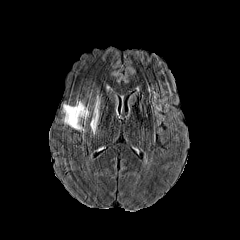
FLAIR magnetic resonance.
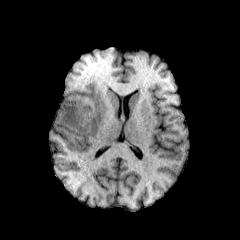
T1-weighted MR image of the same slice.
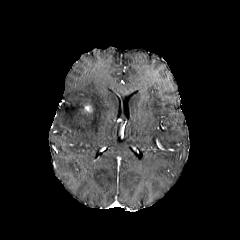
Post-contrast T1-weighted MR image.
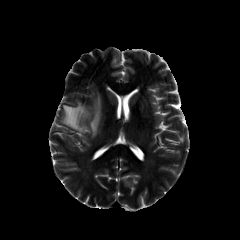
Same slice, T2-weighted MR.
Axial plane.
The enhancing tumor is at (x1=82, y1=105, x2=91, y2=113). 2 peritumoral edema regions are located at (x1=90, y1=96, x2=99, y2=134), (x1=62, y1=101, x2=89, y2=131).